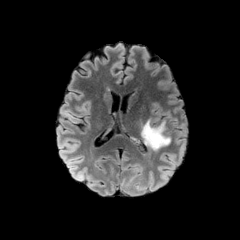
FLAIR magnetic resonance.
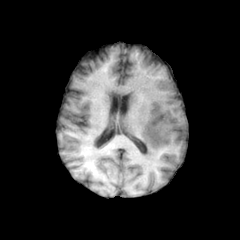
Same slice, T1-weighted MRI.
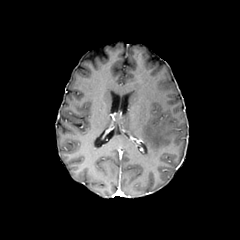
Post-contrast T1-weighted magnetic resonance.
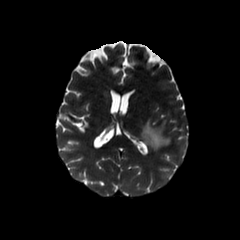
T2-weighted MR.
Brain
• peritumoral edema: 141,120,170,150